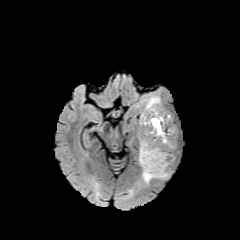
FLAIR MR image.
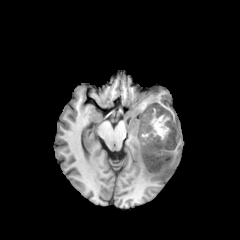
T1-weighted MR.
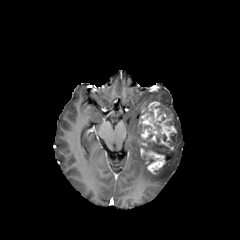
Post-contrast T1-weighted MRI of the same slice.
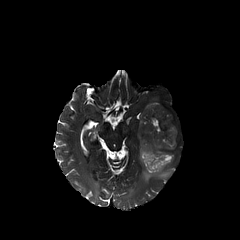
Same slice, T2-weighted magnetic resonance.
Brain
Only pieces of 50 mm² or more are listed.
enhancing_tumor:
  - bbox(139, 101, 166, 145)
  - bbox(140, 113, 176, 173)
peritumoral_edema:
  - bbox(144, 96, 159, 108)
  - bbox(139, 145, 173, 183)
necrotic_tumor_core:
  - bbox(141, 106, 175, 159)
  - bbox(143, 154, 155, 164)